FLAIR MR.
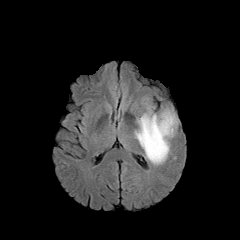
T1-weighted magnetic resonance.
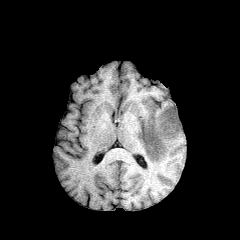
Post-contrast T1-weighted MR.
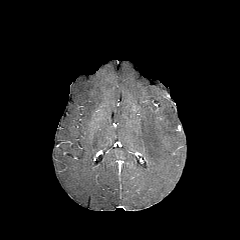
T2-weighted MR.
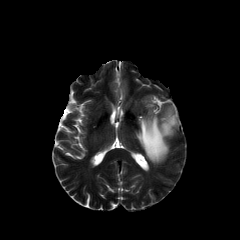
Axial plane | Head
peritumoral edema: (x1=135, y1=107, x2=178, y2=164)